FLAIR magnetic resonance.
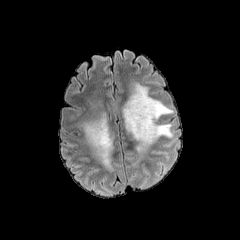
T1-weighted MRI.
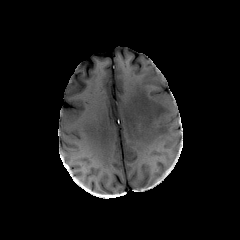
Post-contrast T1-weighted MR.
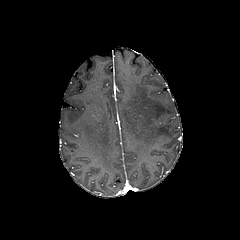
T2-weighted magnetic resonance.
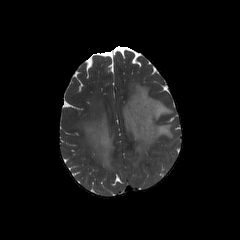
Head, Axial view
peritumoral_edema:
  - box=[122, 82, 173, 153]
  - box=[81, 113, 113, 169]